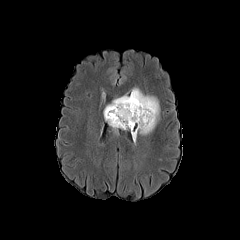
FLAIR MRI.
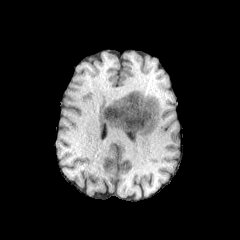
T1-weighted MR image of the same slice.
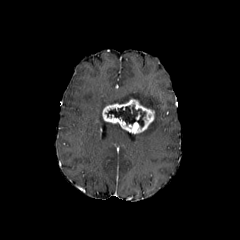
Same slice, post-contrast T1-weighted MR.
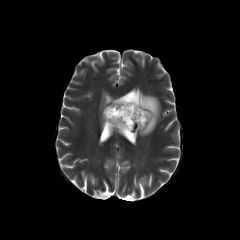
Same slice, T2-weighted MR image.
Axial slice.
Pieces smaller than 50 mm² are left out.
necrotic tumor core at x1=105, y1=105, x2=145, y2=126
peritumoral edema at x1=110, y1=88, x2=159, y2=134; x1=108, y1=122, x2=121, y2=129
enhancing tumor at x1=102, y1=98, x2=154, y2=133